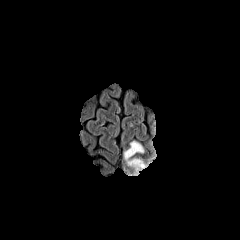
FLAIR MRI.
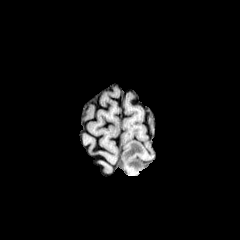
T1-weighted MR.
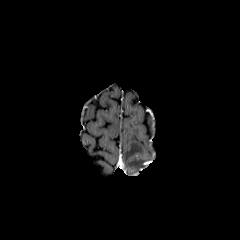
Post-contrast T1-weighted MR image.
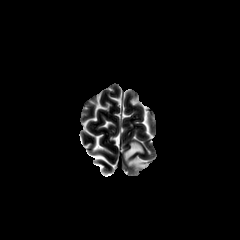
T2-weighted MR.
240x240 px
The enhancing tumor appears at <box>132,168,142,175</box>. The peritumoral edema is at <box>123,141,145,175</box>.